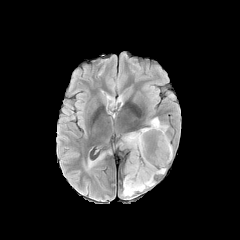
FLAIR MRI.
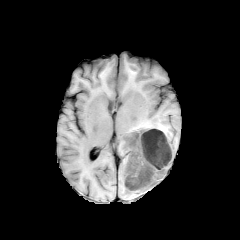
Same slice, T1-weighted MR.
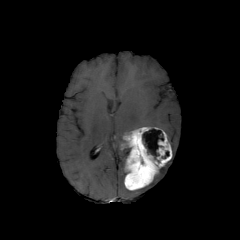
Post-contrast T1-weighted MR.
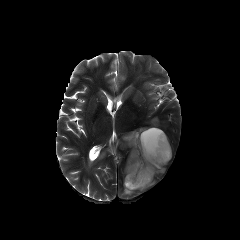
Same slice, T2-weighted MRI.
240x240
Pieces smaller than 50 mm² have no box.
enhancing tumor — {"x1": 121, "y1": 127, "x2": 172, "y2": 190}
peritumoral edema — {"x1": 150, "y1": 118, "x2": 166, "y2": 131}, {"x1": 123, "y1": 180, "x2": 154, "y2": 196}
necrotic tumor core — {"x1": 142, "y1": 128, "x2": 163, "y2": 159}